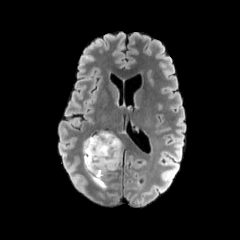
FLAIR MRI.
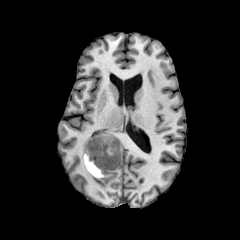
Same slice, T1-weighted MR image.
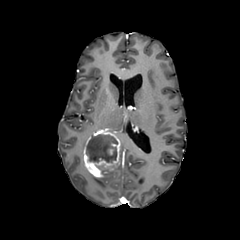
Post-contrast T1-weighted MR image of the same slice.
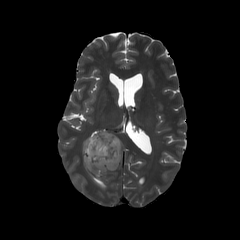
T2-weighted magnetic resonance.
Image size 240x240. Axial plane.
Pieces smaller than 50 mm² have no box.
necrotic tumor core: x1=86, y1=134, x2=117, y2=163
peritumoral edema: x1=81, y1=137, x2=87, y2=171; x1=89, y1=171, x2=112, y2=188; x1=114, y1=134, x2=124, y2=169
enhancing tumor: x1=83, y1=130, x2=120, y2=178